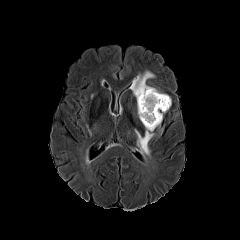
FLAIR MR.
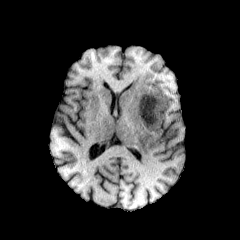
T1-weighted MR image.
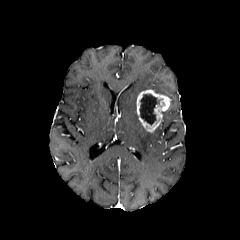
Post-contrast T1-weighted MRI.
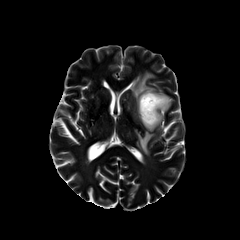
T2-weighted magnetic resonance.
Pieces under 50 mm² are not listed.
{
  "necrotic_tumor_core": [
    "rect(140, 94, 159, 124)"
  ],
  "peritumoral_edema": [
    "rect(130, 71, 163, 98)",
    "rect(135, 129, 154, 156)"
  ],
  "enhancing_tumor": [
    "rect(136, 89, 171, 132)"
  ]
}